Brain
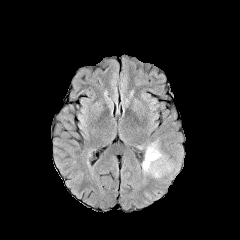
FLAIR magnetic resonance.
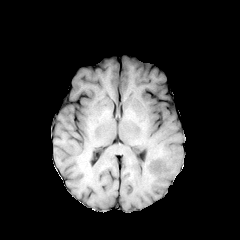
T1-weighted MR.
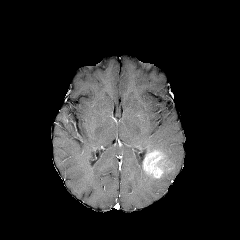
Post-contrast T1-weighted MR image.
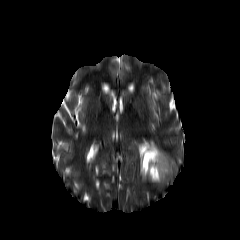
T2-weighted MR of the same slice.
3 peritumoral edema regions are located at (left=140, top=162, right=152, bottom=178), (left=139, top=141, right=161, bottom=155), (left=153, top=154, right=174, bottom=180). The enhancing tumor is at (left=142, top=150, right=170, bottom=178).